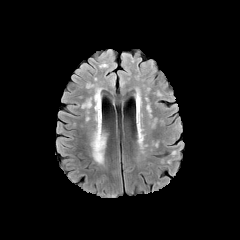
FLAIR magnetic resonance.
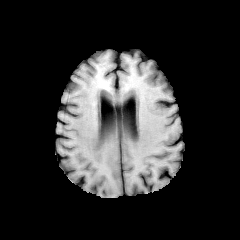
T1-weighted MRI.
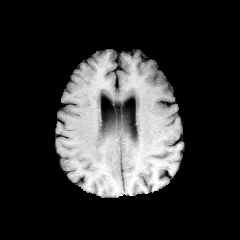
Post-contrast T1-weighted MRI.
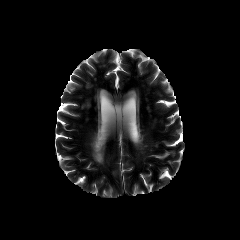
Same slice, T2-weighted MRI.
Segmented structures:
* peritumoral edema: (left=91, top=121, right=105, bottom=163)